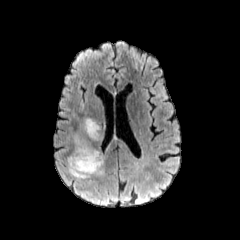
FLAIR magnetic resonance.
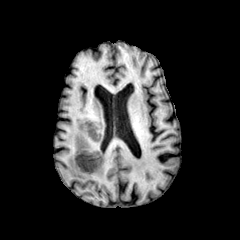
T1-weighted MR.
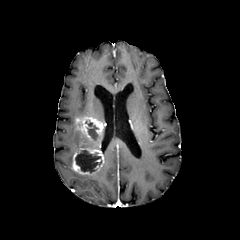
Post-contrast T1-weighted MR of the same slice.
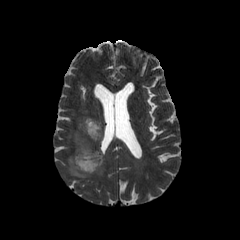
T2-weighted MR.
Image size 240x240, Head
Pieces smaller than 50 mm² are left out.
Findings:
- necrotic tumor core: [x1=85, y1=121, x2=98, y2=138], [x1=75, y1=150, x2=101, y2=172]
- enhancing tumor: [x1=72, y1=116, x2=104, y2=175]
- peritumoral edema: [x1=68, y1=155, x2=91, y2=178], [x1=74, y1=135, x2=82, y2=151]